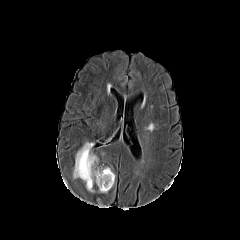
FLAIR MR.
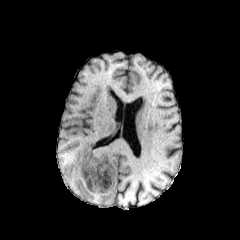
T1-weighted MR image.
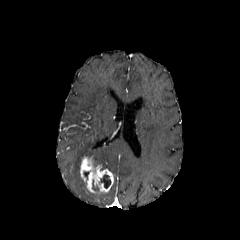
Post-contrast T1-weighted MR.
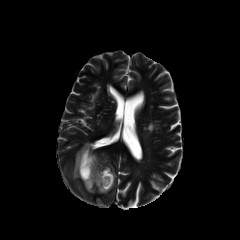
T2-weighted magnetic resonance.
Head; Axial slice; 240x240 px
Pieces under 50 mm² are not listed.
The largest necrotic tumor core region is bounded by 100, 174, 110, 188. The largest peritumoral edema region appears at 73, 142, 98, 178. The enhancing tumor lies within 80, 156, 113, 192.